FLAIR MRI.
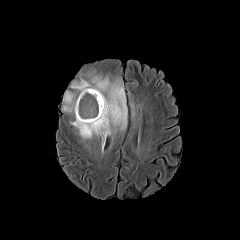
T1-weighted magnetic resonance.
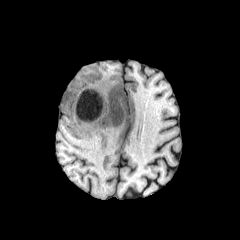
Post-contrast T1-weighted MR image.
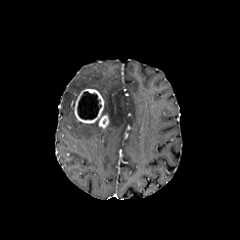
T2-weighted MR image.
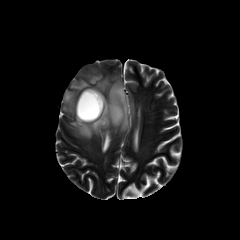
Image size 240x240, Head
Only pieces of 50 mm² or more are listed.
Findings:
- peritumoral edema: bbox(70, 65, 127, 144); bbox(62, 91, 76, 115)
- necrotic tumor core: bbox(77, 91, 101, 119)
- enhancing tumor: bbox(74, 89, 109, 128)